FLAIR MRI.
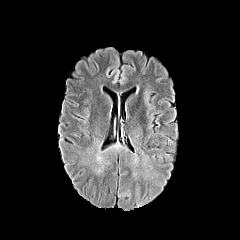
T1-weighted MRI.
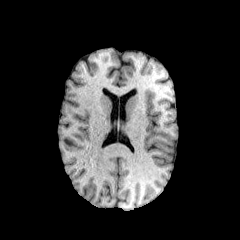
Post-contrast T1-weighted MR.
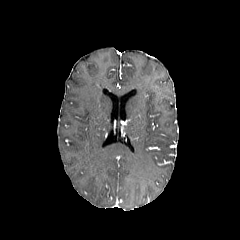
T2-weighted MRI.
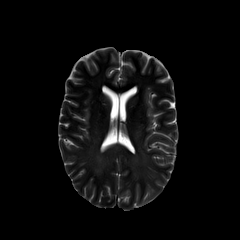
Brain
{
  "peritumoral_edema": [
    "rect(76, 127, 160, 183)"
  ]
}